Brain | Image width 240 mm, 1.00 mm slice spacing | Image size 240x240
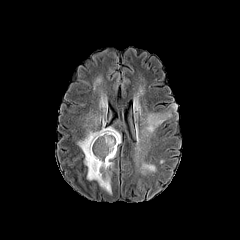
FLAIR magnetic resonance.
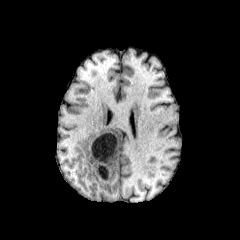
Same slice, T1-weighted magnetic resonance.
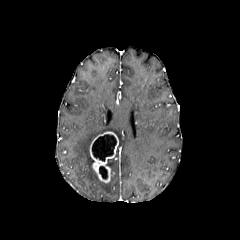
Post-contrast T1-weighted magnetic resonance.
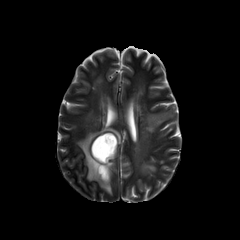
T2-weighted magnetic resonance.
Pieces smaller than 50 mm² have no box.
Findings:
* peritumoral edema: bbox(100, 97, 107, 109); bbox(77, 116, 120, 194); bbox(134, 98, 141, 114); bbox(141, 112, 170, 135); bbox(143, 164, 155, 171)
* enhancing tumor: bbox(90, 131, 118, 182)
* necrotic tumor core: bbox(99, 166, 107, 179); bbox(92, 134, 116, 161)